FLAIR MR image.
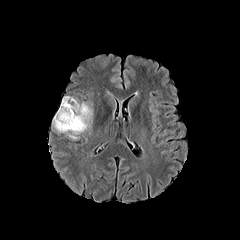
T1-weighted magnetic resonance.
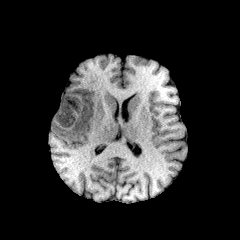
Post-contrast T1-weighted MR image.
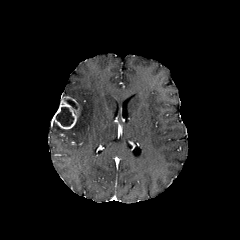
T2-weighted MR image.
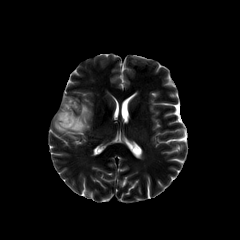
Image size 240x240, Axial view
enhancing tumor: (53, 96, 80, 129) | peritumoral edema: (54, 102, 92, 139) | necrotic tumor core: (56, 107, 73, 126), (66, 99, 77, 109)